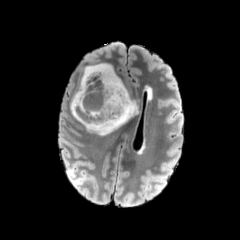
FLAIR MR image.
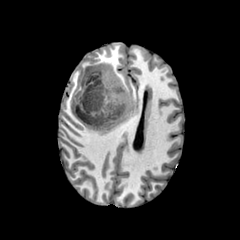
T1-weighted MRI of the same slice.
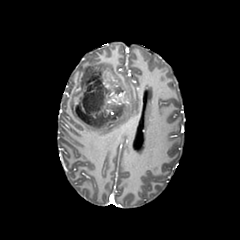
Post-contrast T1-weighted MR.
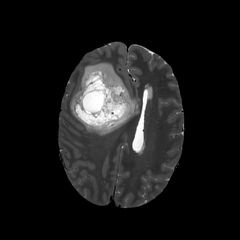
T2-weighted MRI of the same slice.
240x240 px | Axial plane | Brain
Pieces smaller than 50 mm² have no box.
<segmentation>
  <enhancing_tumor>x1=73, y1=70, x2=128, y2=118</enhancing_tumor>
  <peritumoral_edema>x1=70, y1=63, x2=138, y2=135</peritumoral_edema>
  <necrotic_tumor_core>x1=75, y1=73, x2=122, y2=124</necrotic_tumor_core>
</segmentation>